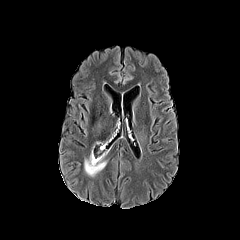
FLAIR MR image.
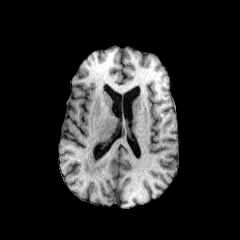
Same slice, T1-weighted MR image.
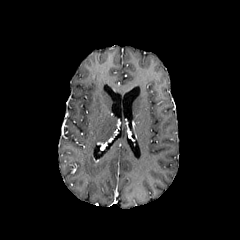
Post-contrast T1-weighted MR image of the same slice.
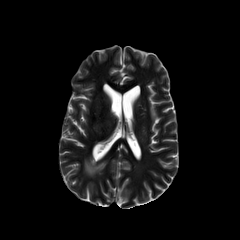
T2-weighted magnetic resonance.
Brain | Image size 240x240
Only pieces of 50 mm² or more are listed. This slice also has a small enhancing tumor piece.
Findings:
• peritumoral edema: x1=84 y1=153 x2=106 y2=176